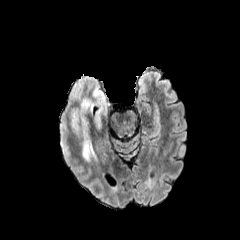
FLAIR MR image.
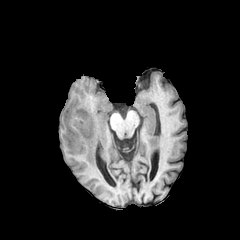
T1-weighted MR image.
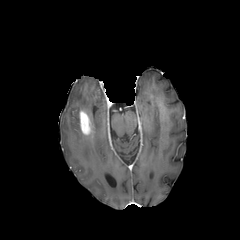
Same slice, post-contrast T1-weighted magnetic resonance.
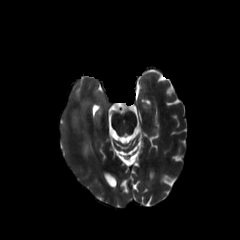
Same slice, T2-weighted MR image.
Head.
The peritumoral edema is bounded by {"x1": 70, "y1": 86, "x2": 110, "y2": 163}. The enhancing tumor is located at {"x1": 78, "y1": 109, "x2": 91, "y2": 136}.